FLAIR magnetic resonance.
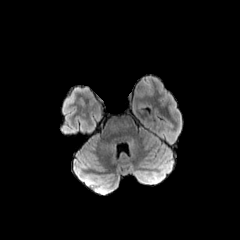
T1-weighted magnetic resonance.
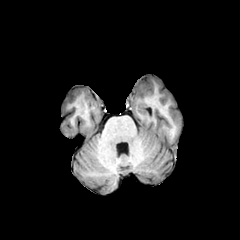
Post-contrast T1-weighted MR image.
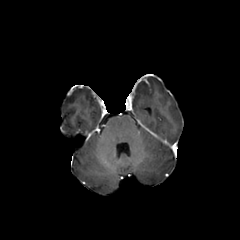
T2-weighted MRI.
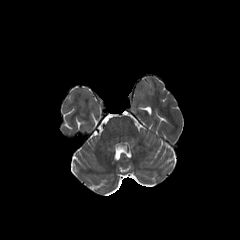
Axial view, Brain
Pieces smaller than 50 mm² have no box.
<segmentation>
  <peritumoral_edema>136,83,153,97</peritumoral_edema>
  <enhancing_tumor>135,79,150,92</enhancing_tumor>
</segmentation>